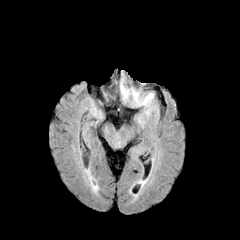
FLAIR MR image.
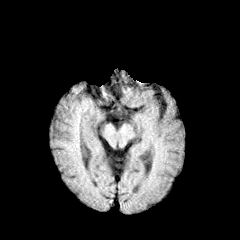
T1-weighted magnetic resonance.
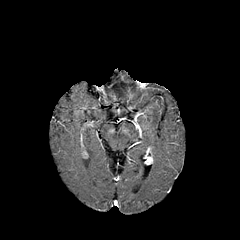
Same slice, post-contrast T1-weighted MRI.
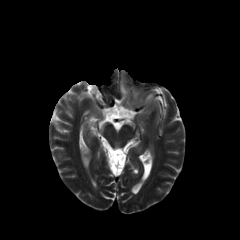
Same slice, T2-weighted MR.
Axial slice
peritumoral edema = region(142, 94, 152, 104); region(132, 91, 138, 103); region(121, 86, 128, 98)